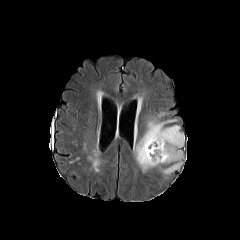
FLAIR MRI.
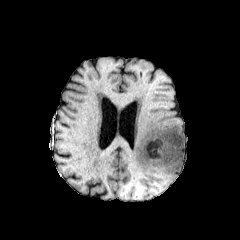
T1-weighted MRI.
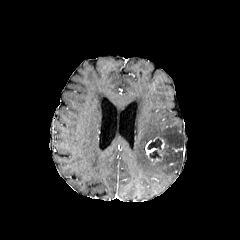
Post-contrast T1-weighted MRI.
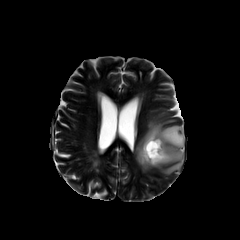
Same slice, T2-weighted magnetic resonance.
240x240 px
enhancing tumor: 145, 137, 164, 164
peritumoral edema: 134, 113, 184, 174
necrotic tumor core: 147, 138, 161, 149; 149, 150, 161, 160